FLAIR MR.
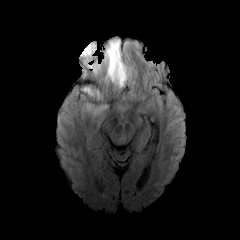
T1-weighted MR image.
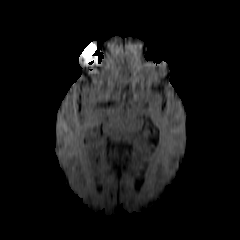
Post-contrast T1-weighted MR.
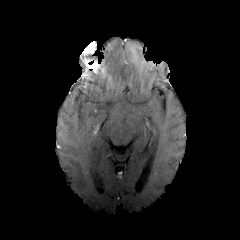
T2-weighted MR.
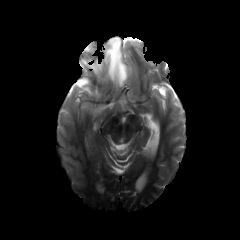
240x240 px | Head
3 peritumoral edema regions are located at [x1=93, y1=38, x2=129, y2=88], [x1=86, y1=103, x2=106, y2=114], [x1=82, y1=86, x2=101, y2=99].